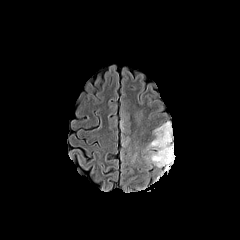
FLAIR MRI.
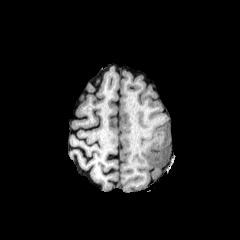
Same slice, T1-weighted MR.
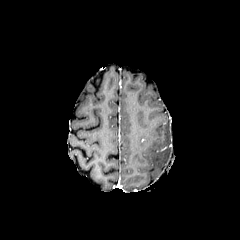
Same slice, post-contrast T1-weighted magnetic resonance.
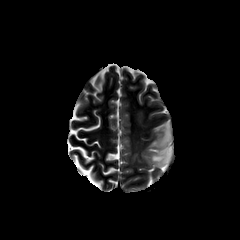
T2-weighted MR image of the same slice.
Image size 240x240, Brain
2 peritumoral edema regions appear at x1=145 y1=121 x2=174 y2=170, x1=120 y1=112 x2=131 y2=147.